FLAIR MRI.
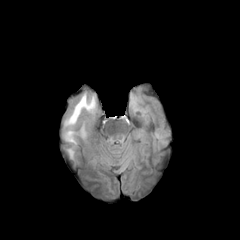
T1-weighted magnetic resonance.
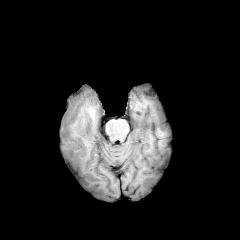
Post-contrast T1-weighted magnetic resonance.
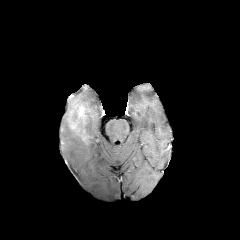
T2-weighted magnetic resonance.
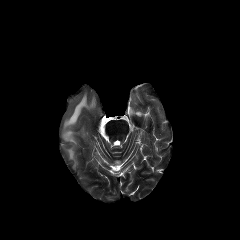
Axial slice. Brain.
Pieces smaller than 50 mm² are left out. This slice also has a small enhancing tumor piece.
The peritumoral edema is bounded by region(62, 92, 96, 159).